Axial plane | Slice index 68
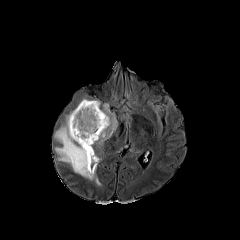
FLAIR magnetic resonance.
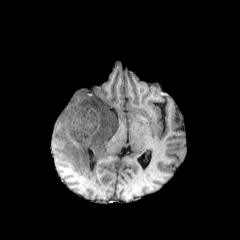
T1-weighted MR image.
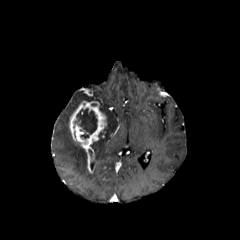
Post-contrast T1-weighted MR.
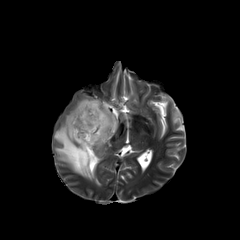
T2-weighted magnetic resonance of the same slice.
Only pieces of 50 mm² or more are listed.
enhancing tumor at [x1=69, y1=100, x2=107, y2=173]
peritumoral edema at [x1=54, y1=107, x2=101, y2=185], [x1=92, y1=103, x2=117, y2=146]
necrotic tumor core at [x1=76, y1=108, x2=97, y2=138]